FLAIR magnetic resonance.
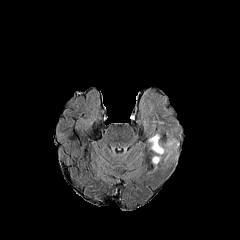
T1-weighted magnetic resonance.
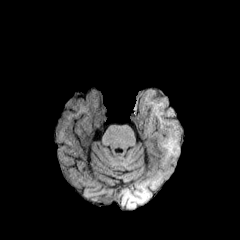
Post-contrast T1-weighted magnetic resonance.
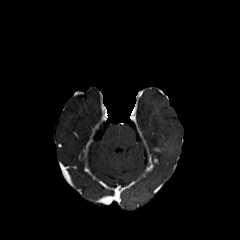
T2-weighted MRI.
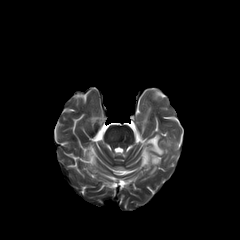
Brain; Axial plane
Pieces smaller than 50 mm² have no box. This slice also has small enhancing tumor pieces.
peritumoral edema at [x1=148, y1=134, x2=164, y2=154]